Head
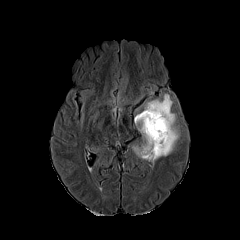
FLAIR magnetic resonance.
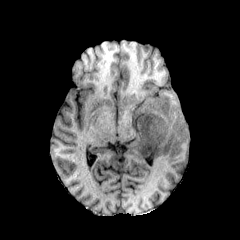
T1-weighted MR of the same slice.
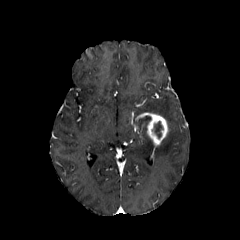
Same slice, post-contrast T1-weighted magnetic resonance.
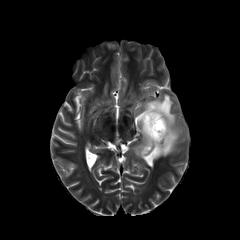
T2-weighted MR.
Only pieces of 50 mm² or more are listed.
necrotic tumor core: bounding box [154,121,162,137]
peritumoral edema: bounding box [132,88,185,159]
enhancing tumor: bounding box [135,112,169,150]